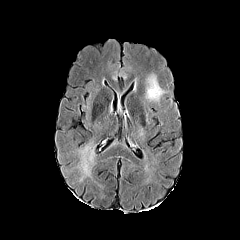
FLAIR MR image.
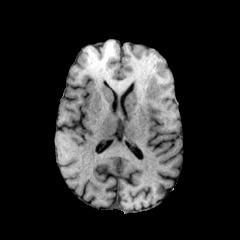
Same slice, T1-weighted MR image.
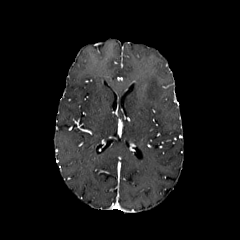
Post-contrast T1-weighted MRI.
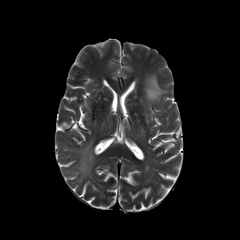
T2-weighted MR.
Head
<segmentation>
  <peritumoral_edema>l=146, t=75, r=163, b=100</peritumoral_edema>
</segmentation>